FLAIR MR image.
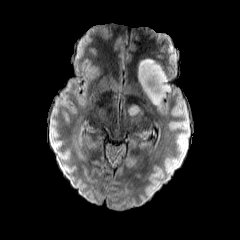
T1-weighted MRI.
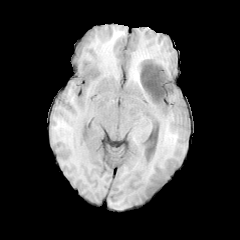
Post-contrast T1-weighted MRI.
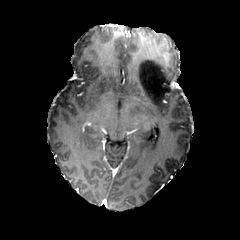
T2-weighted magnetic resonance.
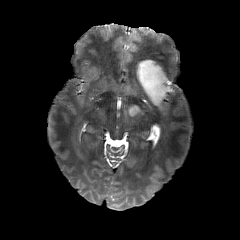
Findings:
- peritumoral edema: rect(128, 105, 141, 115); rect(137, 58, 170, 106)